Axial slice. 240x240 px. Image covers 240 mm x 240 mm.
FLAIR magnetic resonance.
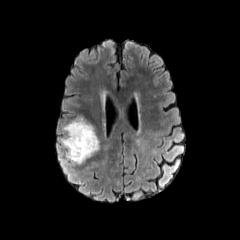
T1-weighted MRI.
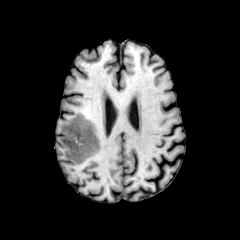
Post-contrast T1-weighted MRI.
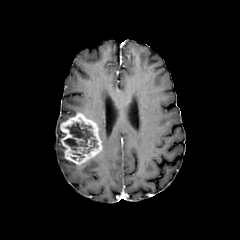
T2-weighted MRI.
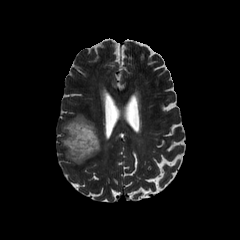
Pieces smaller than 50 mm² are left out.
- enhancing tumor: bbox=[77, 139, 92, 153]; bbox=[60, 113, 101, 164]
- necrotic tumor core: bbox=[64, 122, 98, 157]